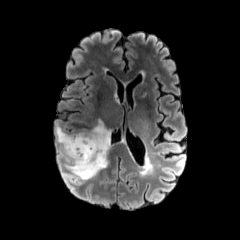
FLAIR MRI.
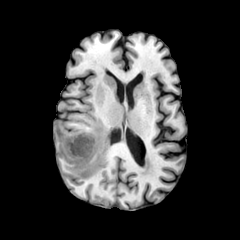
T1-weighted magnetic resonance.
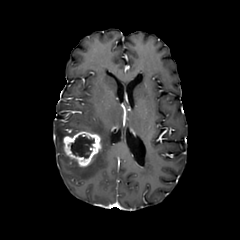
Post-contrast T1-weighted MRI of the same slice.
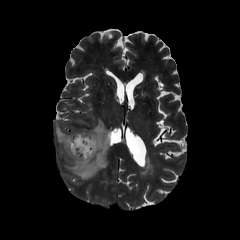
T2-weighted MRI of the same slice.
Annotated regions:
- peritumoral edema: [x1=55, y1=119, x2=110, y2=179]
- necrotic tumor core: [x1=71, y1=135, x2=94, y2=157]
- enhancing tumor: [x1=63, y1=131, x2=101, y2=167]